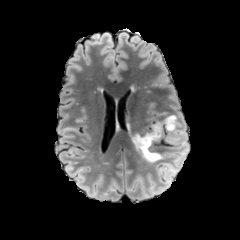
FLAIR MR image.
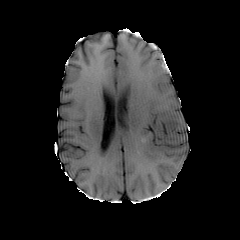
T1-weighted magnetic resonance.
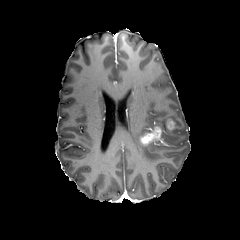
Post-contrast T1-weighted MR image.
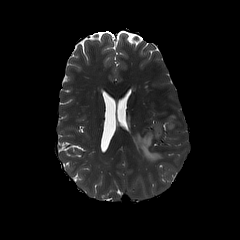
T2-weighted MRI.
Axial plane, Head
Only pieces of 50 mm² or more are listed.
enhancing tumor: bounding box {"x1": 139, "y1": 124, "x2": 162, "y2": 147}, {"x1": 164, "y1": 118, "x2": 175, "y2": 130}
peritumoral edema: bounding box {"x1": 164, "y1": 115, "x2": 179, "y2": 125}, {"x1": 133, "y1": 133, "x2": 164, "y2": 162}